Head; Slice 56/155; Image covers 240 mm x 240 mm; Axial plane
FLAIR MR image.
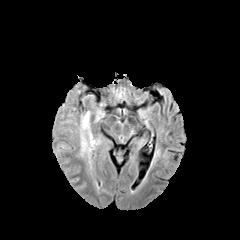
T1-weighted magnetic resonance.
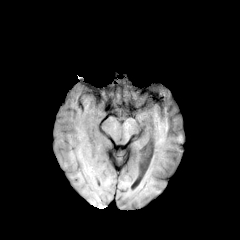
Post-contrast T1-weighted magnetic resonance.
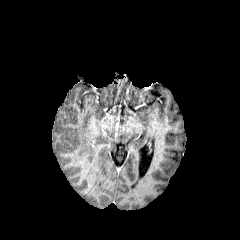
T2-weighted MRI.
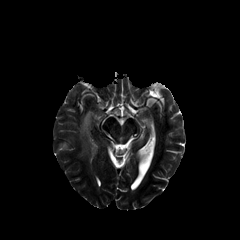
peritumoral_edema:
  - (80, 112, 95, 154)